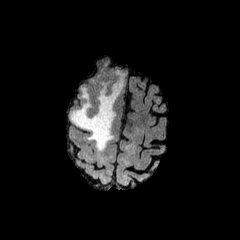
FLAIR MR image.
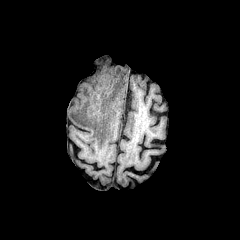
Same slice, T1-weighted MR.
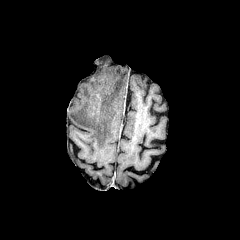
Post-contrast T1-weighted MR image of the same slice.
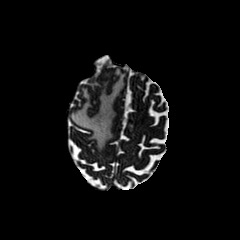
T2-weighted magnetic resonance.
Annotated regions:
* peritumoral edema: rect(70, 70, 124, 151)